Head; Axial plane
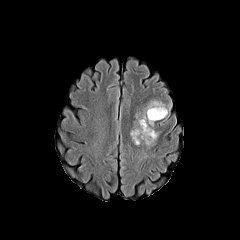
FLAIR MR.
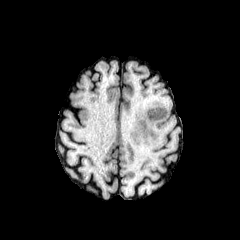
T1-weighted MR image of the same slice.
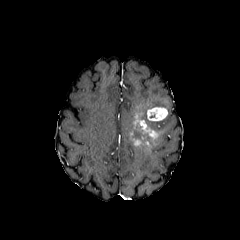
Post-contrast T1-weighted MR of the same slice.
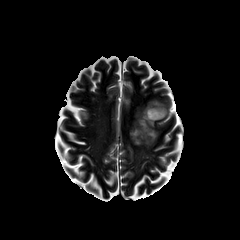
T2-weighted MR.
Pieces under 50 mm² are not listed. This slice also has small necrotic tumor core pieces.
The 3 largest peritumoral edema regions are located at [134,99,172,130], [131,124,156,144], [138,152,148,163]. The 2 largest enhancing tumor regions appear at [134,116,158,140], [147,107,167,121].